Axial view | Brain | 240x240 px
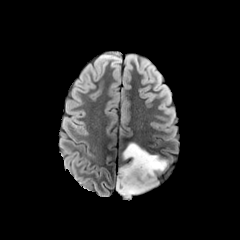
FLAIR MR.
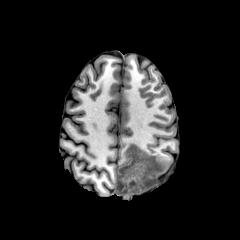
T1-weighted MR of the same slice.
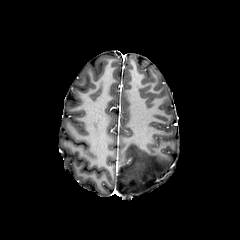
Post-contrast T1-weighted magnetic resonance of the same slice.
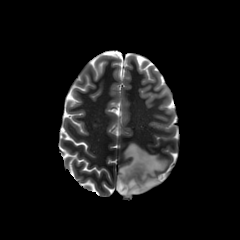
T2-weighted MRI.
peritumoral edema = x1=116 y1=143 x2=167 y2=197